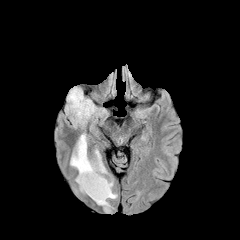
FLAIR MRI.
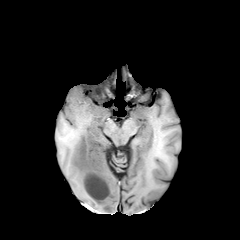
Same slice, T1-weighted MR.
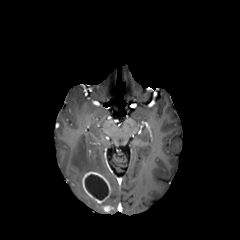
Post-contrast T1-weighted MR image.
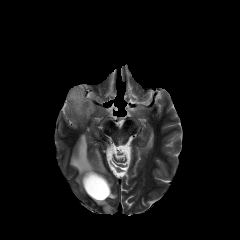
T2-weighted magnetic resonance.
Head | Axial plane | 240x240
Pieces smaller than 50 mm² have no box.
The necrotic tumor core is bounded by box(85, 174, 108, 200). 2 enhancing tumor regions appear at box(104, 205, 112, 212); box(82, 171, 110, 203). The 3 largest peritumoral edema regions are bounded by box(70, 134, 107, 192); box(66, 87, 96, 124); box(108, 179, 117, 198).